Slice index 93. Head.
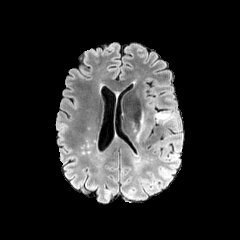
FLAIR MR image.
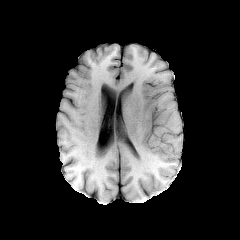
T1-weighted magnetic resonance.
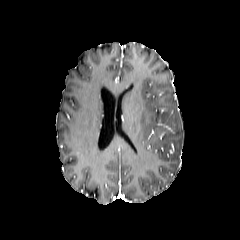
Post-contrast T1-weighted magnetic resonance.
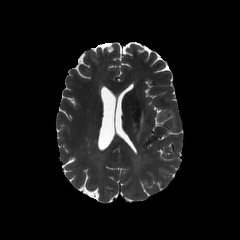
Same slice, T2-weighted magnetic resonance.
{"peritumoral_edema": ["bbox=[156, 112, 169, 119]", "bbox=[137, 115, 144, 139]"]}